Image size 240x240; Axial view; Head
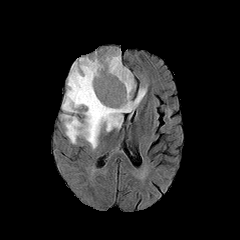
FLAIR magnetic resonance.
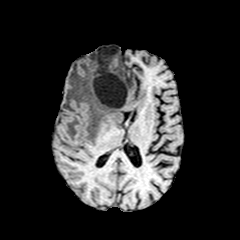
T1-weighted MRI of the same slice.
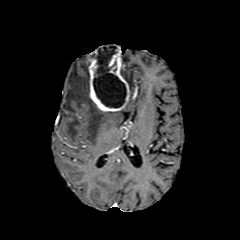
Post-contrast T1-weighted MRI.
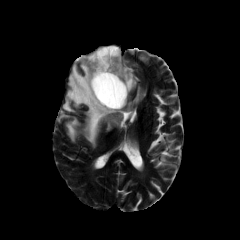
T2-weighted magnetic resonance.
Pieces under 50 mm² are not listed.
Segmented structures:
• enhancing tumor: box(87, 46, 129, 111)
• peritumoral edema: box(61, 56, 146, 148)
• necrotic tumor core: box(91, 46, 126, 107)